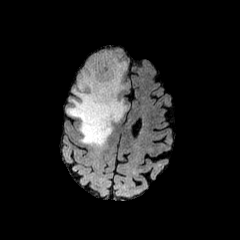
FLAIR magnetic resonance.
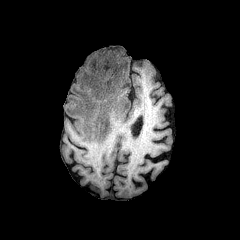
T1-weighted magnetic resonance of the same slice.
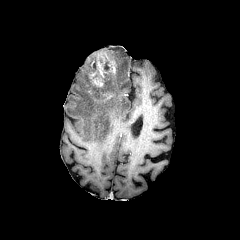
Same slice, post-contrast T1-weighted MRI.
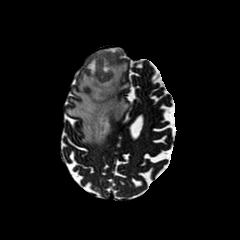
T2-weighted magnetic resonance.
Axial view
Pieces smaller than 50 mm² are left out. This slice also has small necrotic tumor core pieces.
peritumoral_edema:
  - x1=66, y1=49, x2=127, y2=146
enhancing_tumor:
  - x1=87, y1=49, x2=117, y2=99